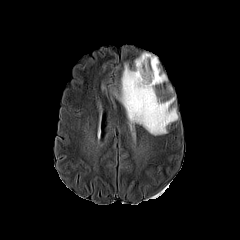
FLAIR magnetic resonance.
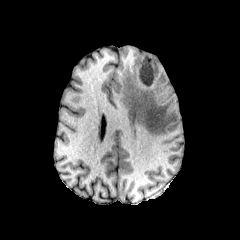
Same slice, T1-weighted MR.
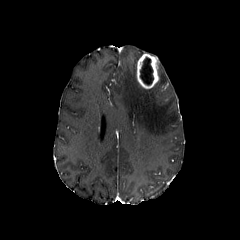
Post-contrast T1-weighted MR.
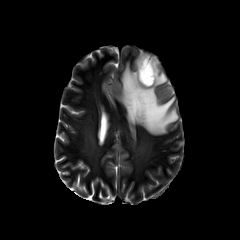
T2-weighted magnetic resonance.
Image size 240x240
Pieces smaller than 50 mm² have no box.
<segmentation>
  <peritumoral_edema><box>115,64,178,135</box></peritumoral_edema>
  <enhancing_tumor><box>136,53,159,88</box></enhancing_tumor>
  <necrotic_tumor_core><box>140,57,153,85</box></necrotic_tumor_core>
</segmentation>